Head; Slice 121/155
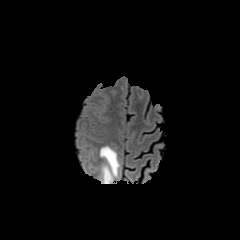
FLAIR MR image.
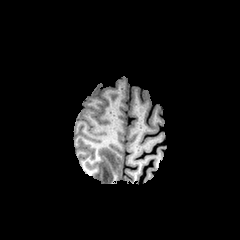
T1-weighted magnetic resonance.
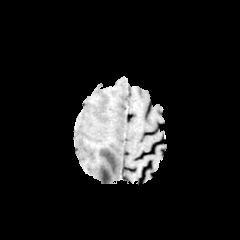
Post-contrast T1-weighted MR.
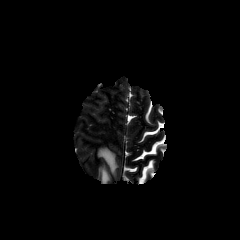
T2-weighted magnetic resonance.
peritumoral edema — rect(98, 146, 120, 183)